FLAIR magnetic resonance.
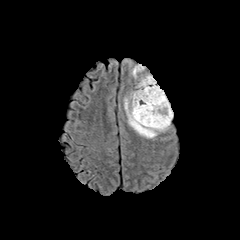
T1-weighted MR.
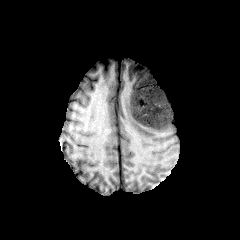
Post-contrast T1-weighted MRI.
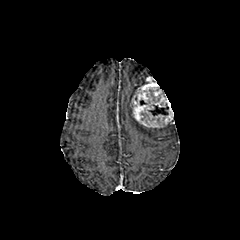
T2-weighted magnetic resonance.
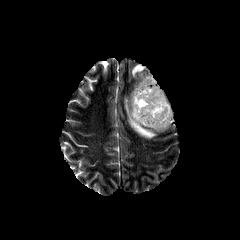
240x240 | Brain
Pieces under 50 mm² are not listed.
peritumoral edema: bbox(125, 98, 169, 138); bbox(132, 64, 144, 77) | enhancing tumor: bbox(131, 76, 173, 128) | necrotic tumor core: bbox(149, 104, 168, 115)